Slice 116 of 155; 240x240; Brain
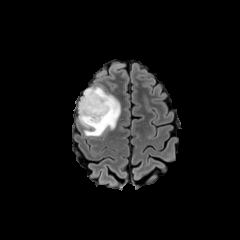
FLAIR magnetic resonance.
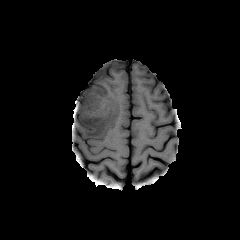
Same slice, T1-weighted MR.
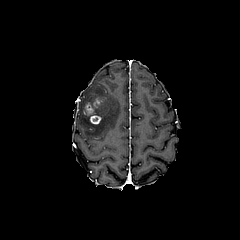
Same slice, post-contrast T1-weighted magnetic resonance.
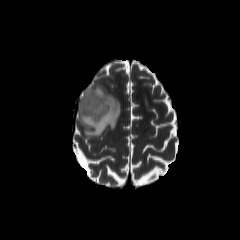
T2-weighted MR of the same slice.
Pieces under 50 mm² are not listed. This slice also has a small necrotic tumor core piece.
<segmentation>
  <peritumoral_edema>{"x1": 78, "y1": 86, "x2": 120, "y2": 136}</peritumoral_edema>
  <enhancing_tumor>{"x1": 83, "y1": 97, "x2": 102, "y2": 124}</enhancing_tumor>
</segmentation>